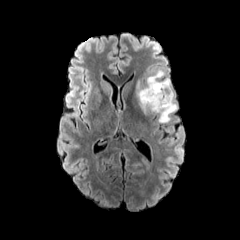
FLAIR MR image.
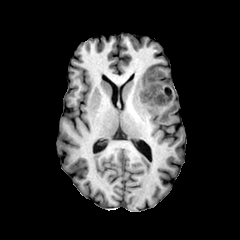
T1-weighted MR image.
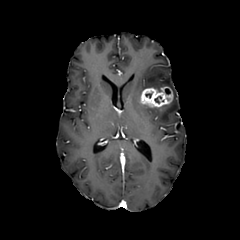
Post-contrast T1-weighted magnetic resonance of the same slice.
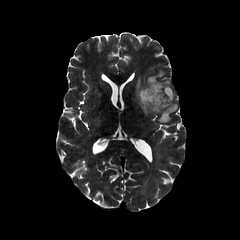
T2-weighted MRI of the same slice.
Axial slice
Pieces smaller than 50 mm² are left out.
Annotated regions:
* enhancing tumor: {"x1": 140, "y1": 86, "x2": 173, "y2": 107}
* necrotic tumor core: {"x1": 145, "y1": 91, "x2": 153, "y2": 98}, {"x1": 154, "y1": 94, "x2": 164, "y2": 104}
* peritumoral edema: {"x1": 135, "y1": 70, "x2": 177, "y2": 122}